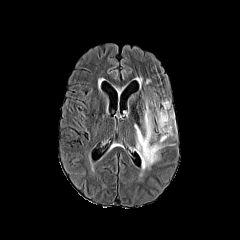
FLAIR MR.
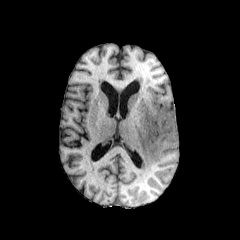
T1-weighted MR.
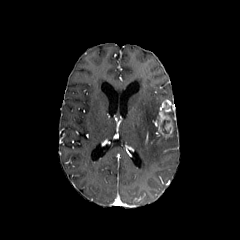
Post-contrast T1-weighted MR.
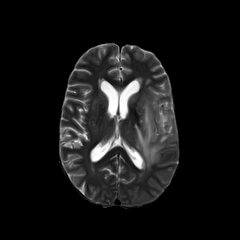
T2-weighted MR of the same slice.
Brain.
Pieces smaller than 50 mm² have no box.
necrotic tumor core: bounding box 161,120,169,133
peritumoral edema: bounding box 167,110,176,131; 134,99,174,168
enhancing tumor: bounding box 154,99,173,138